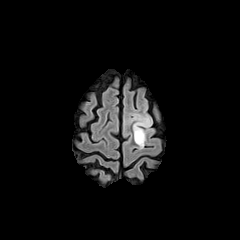
FLAIR MR.
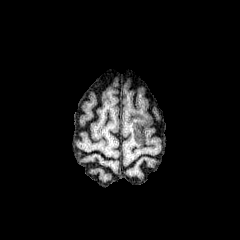
Same slice, T1-weighted MR image.
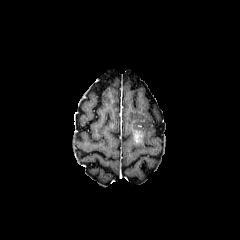
Post-contrast T1-weighted MRI.
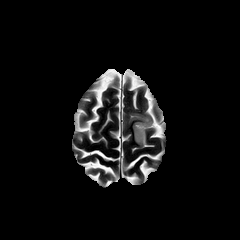
Same slice, T2-weighted MR image.
peritumoral edema: 128:111:152:149
enhancing tumor: 134:130:143:143